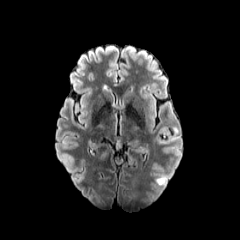
FLAIR MR.
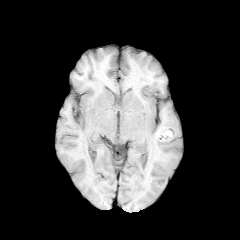
T1-weighted MR.
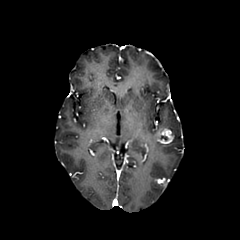
Post-contrast T1-weighted MRI.
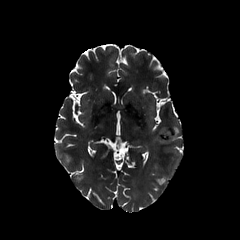
T2-weighted magnetic resonance.
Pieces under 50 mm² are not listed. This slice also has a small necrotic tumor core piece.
enhancing tumor: <bbox>157, 129, 173, 144</bbox>
peritumoral edema: <bbox>158, 174, 167, 185</bbox>, <bbox>172, 125, 179, 140</bbox>